240x240; Axial slice; Brain; Image covers 240 mm x 240 mm
FLAIR MR.
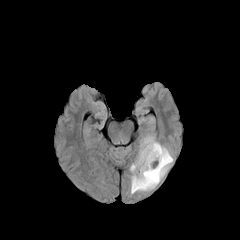
T1-weighted MR.
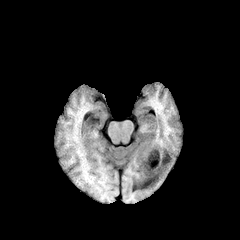
Post-contrast T1-weighted MR image.
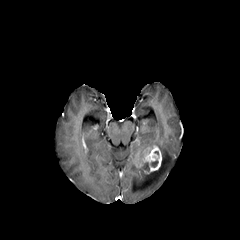
T2-weighted MR image.
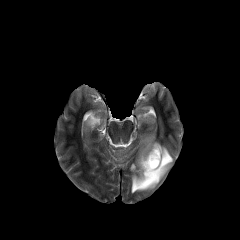
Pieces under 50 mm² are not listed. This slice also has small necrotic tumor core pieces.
The enhancing tumor is located at rect(137, 145, 162, 173). The peritumoral edema is at rect(130, 135, 173, 194).